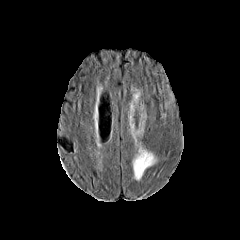
FLAIR MRI.
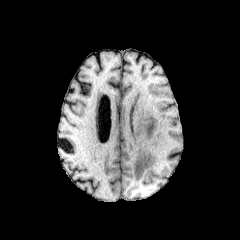
T1-weighted MR.
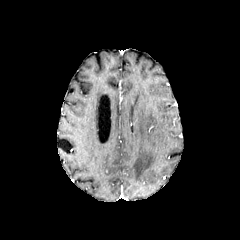
Post-contrast T1-weighted MR image.
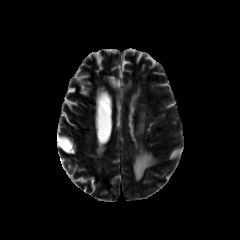
Same slice, T2-weighted magnetic resonance.
Axial slice
* peritumoral edema: <box>133,148,156,180</box>